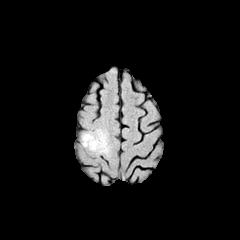
FLAIR MR.
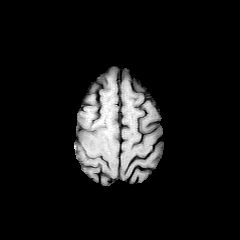
T1-weighted MRI.
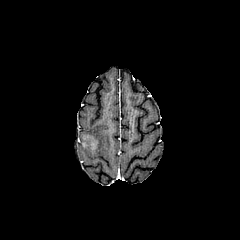
Post-contrast T1-weighted MR.
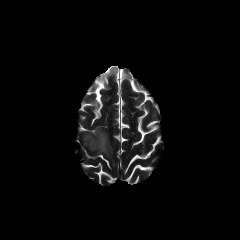
T2-weighted MR.
240x240
{
  "enhancing_tumor": [
    "box=[81, 134, 98, 150]"
  ],
  "peritumoral_edema": [
    "box=[78, 128, 110, 156]"
  ]
}